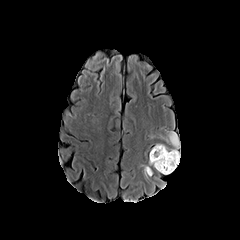
FLAIR MR image.
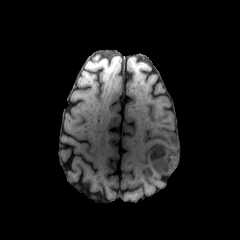
Same slice, T1-weighted MR image.
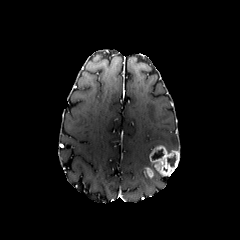
Post-contrast T1-weighted MR of the same slice.
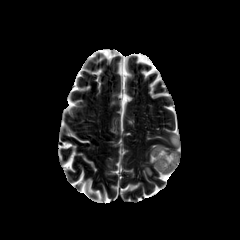
T2-weighted magnetic resonance.
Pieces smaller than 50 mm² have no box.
Segmented structures:
* enhancing tumor: region(149, 145, 179, 176); region(145, 167, 153, 177)
* necrotic tumor core: region(151, 149, 163, 160); region(167, 154, 175, 166)
* peritumoral edema: region(169, 131, 180, 149)